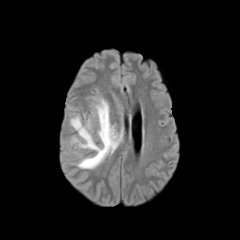
FLAIR MRI.
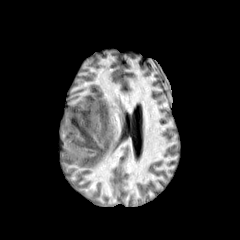
T1-weighted MR of the same slice.
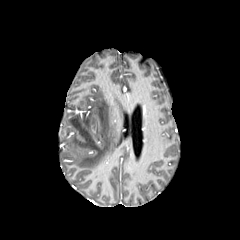
Same slice, post-contrast T1-weighted magnetic resonance.
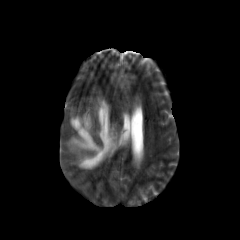
Same slice, T2-weighted MRI.
Brain, Image size 240x240
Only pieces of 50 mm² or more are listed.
The largest peritumoral edema region is at x1=70, y1=99, x2=121, y2=168.